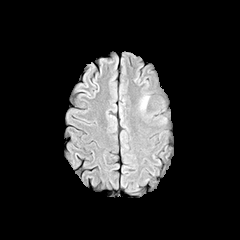
FLAIR MR image.
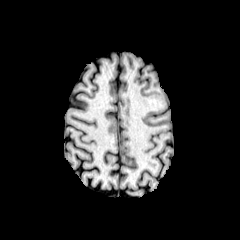
Same slice, T1-weighted MR.
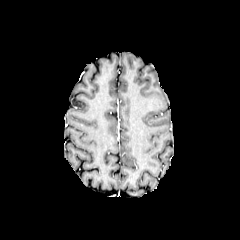
Post-contrast T1-weighted MRI of the same slice.
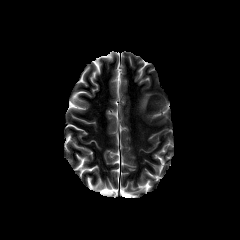
T2-weighted magnetic resonance of the same slice.
Head | Axial slice
The peritumoral edema is bounded by bbox=[141, 97, 147, 108].